FLAIR MRI.
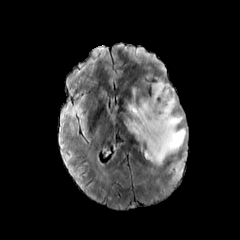
T1-weighted MRI.
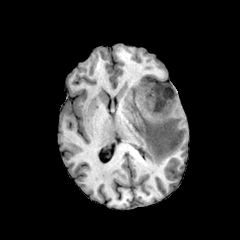
Post-contrast T1-weighted MRI.
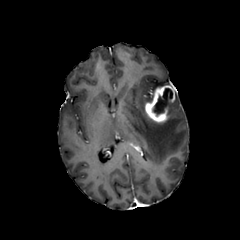
T2-weighted MR.
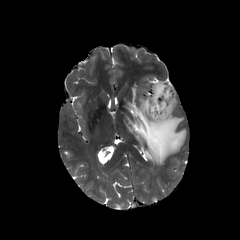
240x240, Axial slice
enhancing tumor: x1=145 y1=85 x2=175 y2=122
necrotic tumor core: x1=153 y1=88 x2=172 y2=114
peritumoral edema: x1=152 y1=81 x2=168 y2=91, x1=126 y1=87 x2=186 y2=165